Head | Slice 36 of 155 | Image size 240x240
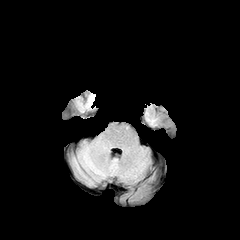
FLAIR magnetic resonance.
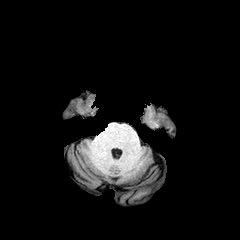
T1-weighted magnetic resonance.
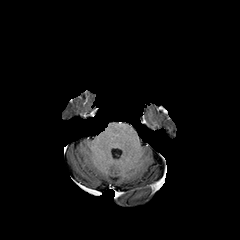
Same slice, post-contrast T1-weighted MRI.
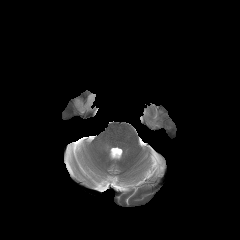
T2-weighted magnetic resonance of the same slice.
peritumoral edema — [88, 94, 94, 105]